Slice 97/155
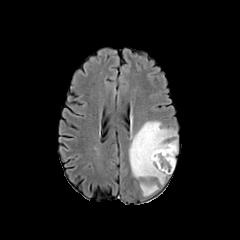
FLAIR MR image.
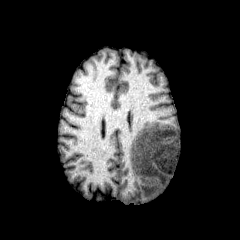
T1-weighted MRI.
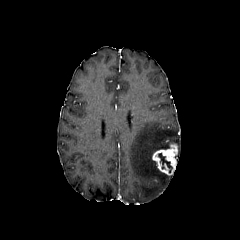
Same slice, post-contrast T1-weighted MRI.
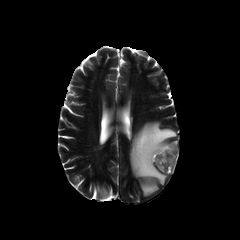
T2-weighted magnetic resonance of the same slice.
Segmented structures:
* enhancing tumor: box=[152, 143, 177, 175]
* peritumoral edema: box=[129, 121, 177, 196]
* necrotic tumor core: box=[158, 153, 172, 172]